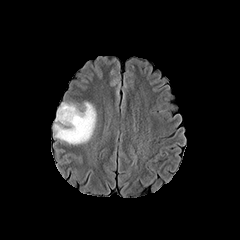
FLAIR magnetic resonance.
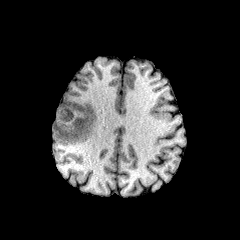
T1-weighted magnetic resonance of the same slice.
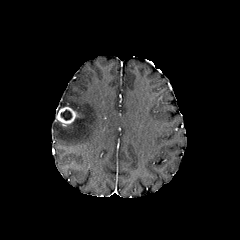
Post-contrast T1-weighted magnetic resonance of the same slice.
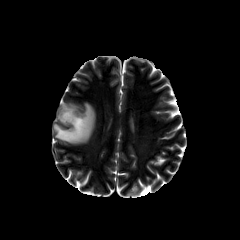
Same slice, T2-weighted MR image.
The peritumoral edema is bounded by x1=53, y1=102, x2=96, y2=144. The necrotic tumor core is bounded by x1=61, y1=110, x2=71, y2=120. The enhancing tumor is at x1=55, y1=106, x2=78, y2=125.